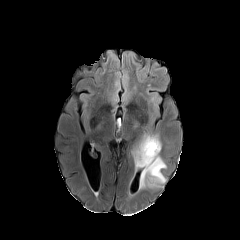
FLAIR MRI.
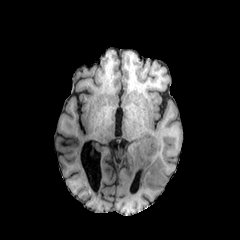
T1-weighted MR image of the same slice.
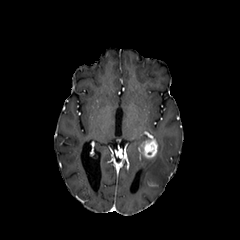
Post-contrast T1-weighted MRI.
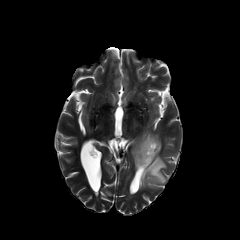
Same slice, T2-weighted MR image.
Brain
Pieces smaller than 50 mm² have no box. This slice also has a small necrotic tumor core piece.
peritumoral edema: [132,135,166,188]
enhancing tumor: [138,138,157,158]